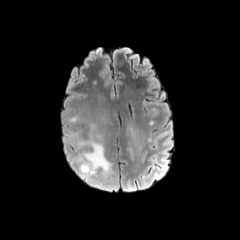
FLAIR MR.
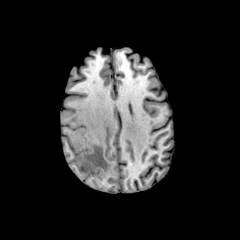
Same slice, T1-weighted MRI.
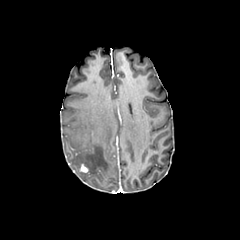
Post-contrast T1-weighted magnetic resonance of the same slice.
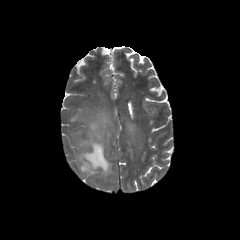
T2-weighted MR image of the same slice.
Image size 240x240.
enhancing tumor: x1=80 y1=164 x2=88 y2=172
peritumoral edema: x1=71 y1=124 x2=113 y2=182